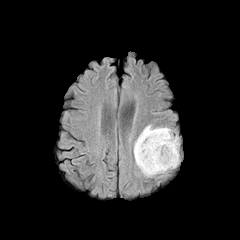
FLAIR magnetic resonance.
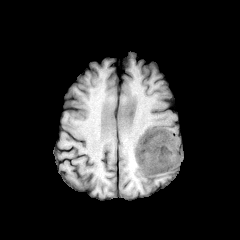
T1-weighted MRI.
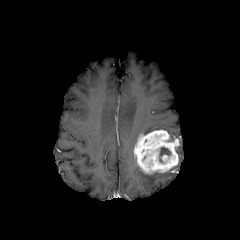
Same slice, post-contrast T1-weighted MR image.
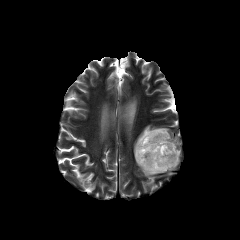
T2-weighted magnetic resonance of the same slice.
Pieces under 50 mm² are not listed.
{"necrotic_tumor_core": ["160 147 170 155"], "enhancing_tumor": ["134 130 179 174"], "peritumoral_edema": ["141 125 173 140"]}